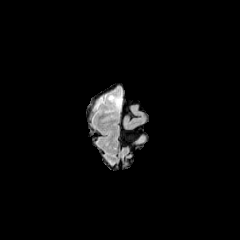
FLAIR MRI.
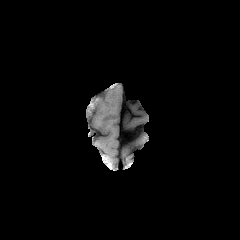
T1-weighted MRI of the same slice.
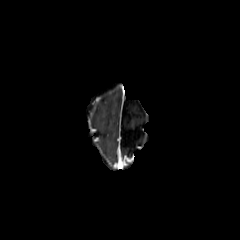
Post-contrast T1-weighted MRI.
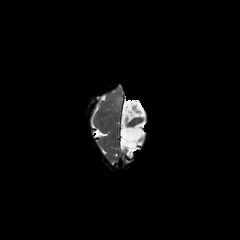
T2-weighted MR image.
240x240 px
peritumoral edema — [109,95,121,107]